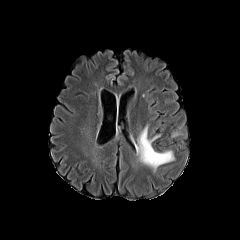
FLAIR MR image.
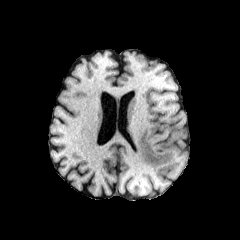
T1-weighted MRI of the same slice.
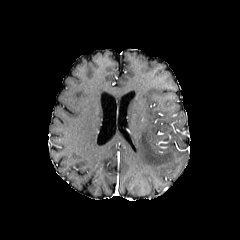
Post-contrast T1-weighted MR.
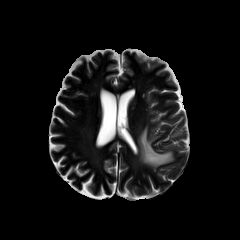
Same slice, T2-weighted MRI.
Axial view; Head; 240x240 px
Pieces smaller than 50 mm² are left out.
peritumoral edema — [x1=138, y1=123, x2=175, y2=170]